FLAIR MRI.
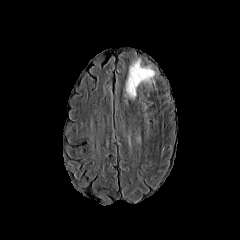
T1-weighted MR image.
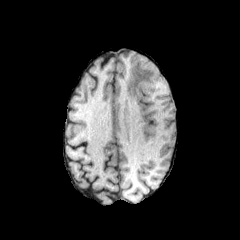
Post-contrast T1-weighted MR.
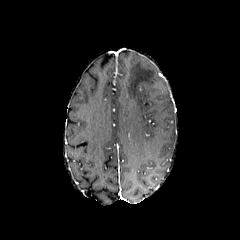
T2-weighted MR image.
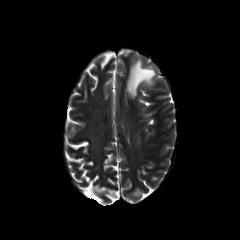
Head. Image size 240x240. Axial slice.
Segmented structures:
* peritumoral edema: l=126, t=59, r=155, b=98